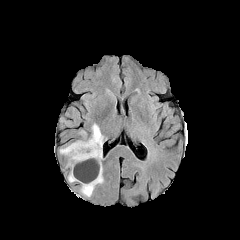
FLAIR magnetic resonance.
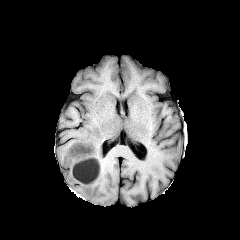
Same slice, T1-weighted MR.
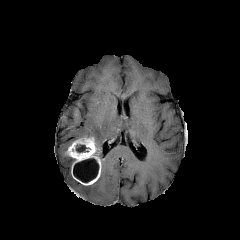
Same slice, post-contrast T1-weighted MRI.
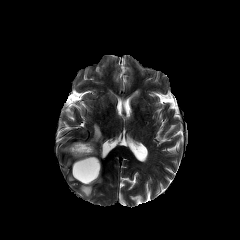
T2-weighted MR.
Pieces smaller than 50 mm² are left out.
enhancing tumor: (x1=66, y1=137, x2=101, y2=185)
necrotic tumor core: (x1=76, y1=144, x2=88, y2=152), (x1=73, y1=158, x2=98, y2=182)
peritumoral edema: (x1=91, y1=123, x2=103, y2=159), (x1=80, y1=168, x2=103, y2=197)